Slice 46/155
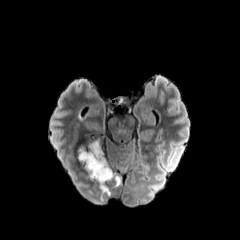
FLAIR MRI.
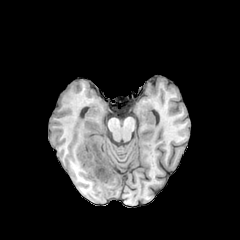
T1-weighted MR image.
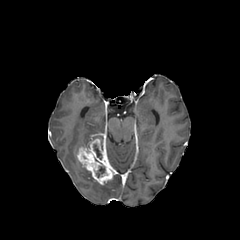
Post-contrast T1-weighted MR of the same slice.
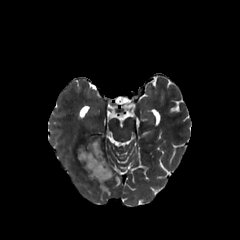
T2-weighted MRI.
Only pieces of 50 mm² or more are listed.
The 2 largest necrotic tumor core regions are located at rect(96, 166, 105, 177); rect(93, 144, 101, 159). The 2 largest peritumoral edema regions appear at rect(99, 183, 110, 195); rect(113, 174, 120, 185). The enhancing tumor is located at rect(77, 138, 116, 184).